Axial plane | Image size 240x240 | Brain
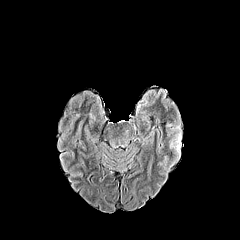
FLAIR magnetic resonance.
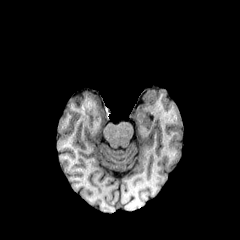
T1-weighted MR.
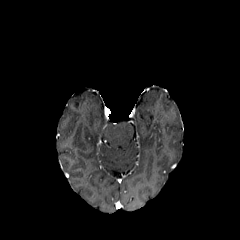
Post-contrast T1-weighted MR.
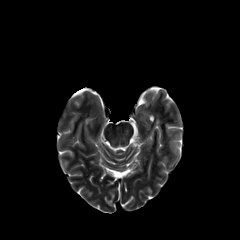
T2-weighted MR image.
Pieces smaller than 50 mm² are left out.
peritumoral edema: l=174, t=126, r=181, b=153